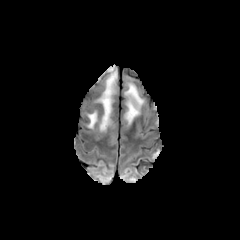
FLAIR MR image.
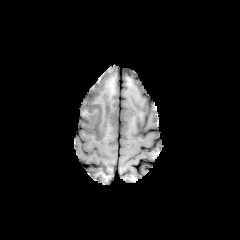
T1-weighted MR image.
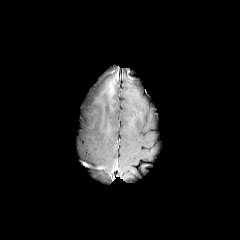
Same slice, post-contrast T1-weighted magnetic resonance.
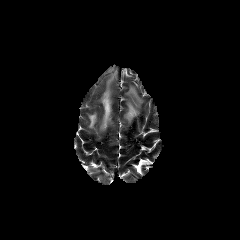
T2-weighted magnetic resonance.
Head | Image size 240x240
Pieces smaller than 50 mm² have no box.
peritumoral edema — left=94, top=72, right=116, bottom=133; left=122, top=82, right=143, bottom=126; left=84, top=109, right=98, bottom=129